FLAIR MR.
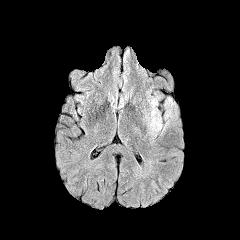
T1-weighted MR image.
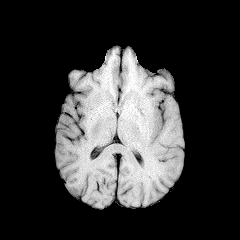
Post-contrast T1-weighted MR.
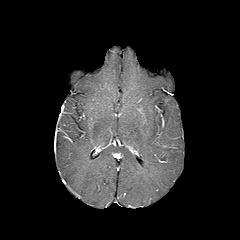
T2-weighted MR.
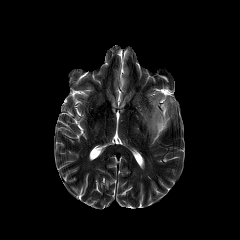
Axial slice; 240x240 px; Brain
Findings:
• peritumoral edema: left=144, top=98, right=173, bottom=137